Head | Axial slice
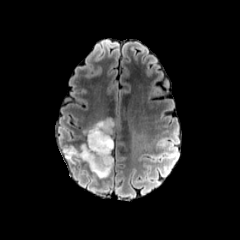
FLAIR magnetic resonance.
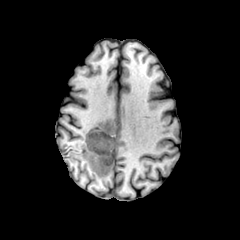
Same slice, T1-weighted MR.
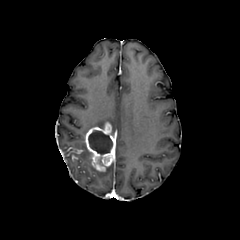
Post-contrast T1-weighted MRI of the same slice.
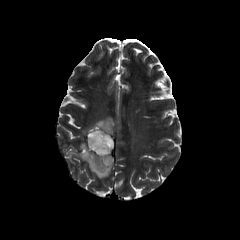
T2-weighted MR image of the same slice.
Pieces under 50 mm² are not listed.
<segmentation>
  <enhancing_tumor>bbox=[67, 147, 83, 160]; bbox=[85, 122, 115, 172]</enhancing_tumor>
  <necrotic_tumor_core>bbox=[88, 130, 112, 154]</necrotic_tumor_core>
  <peritumoral_edema>bbox=[83, 118, 114, 134]; bbox=[74, 143, 113, 177]</peritumoral_edema>
</segmentation>